FLAIR MR image.
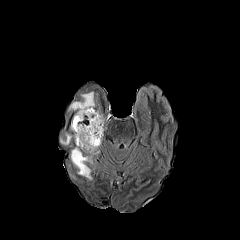
T1-weighted MR image.
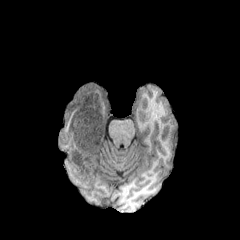
Post-contrast T1-weighted magnetic resonance.
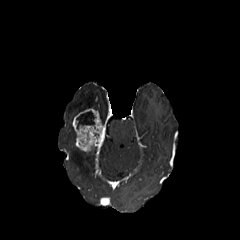
T2-weighted magnetic resonance.
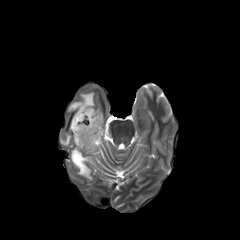
Brain, Axial slice
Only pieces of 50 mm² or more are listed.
The largest necrotic tumor core region is bounded by {"x1": 76, "y1": 111, "x2": 95, "y2": 128}. The enhancing tumor appears at {"x1": 72, "y1": 108, "x2": 104, "y2": 152}. The 3 largest peritumoral edema regions appear at {"x1": 60, "y1": 124, "x2": 76, "y2": 145}, {"x1": 71, "y1": 147, "x2": 92, "y2": 179}, {"x1": 68, "y1": 92, "x2": 95, "y2": 115}.